240x240, Axial slice
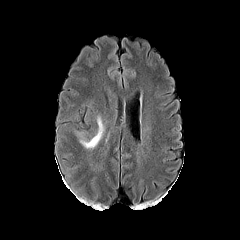
FLAIR magnetic resonance.
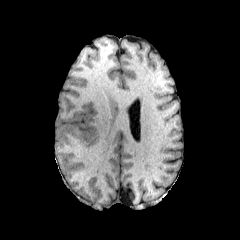
T1-weighted magnetic resonance.
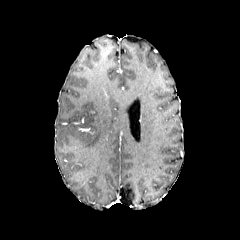
Post-contrast T1-weighted MRI.
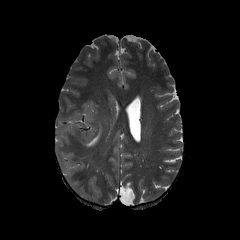
T2-weighted magnetic resonance.
The peritumoral edema is located at 80,116,104,147.